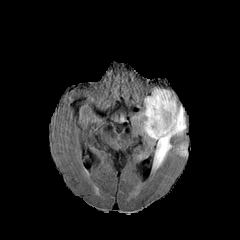
FLAIR MR.
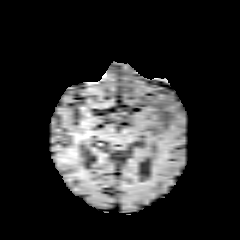
T1-weighted MR image.
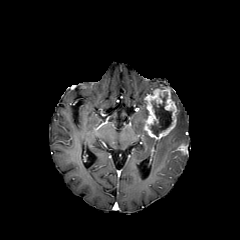
Post-contrast T1-weighted magnetic resonance.
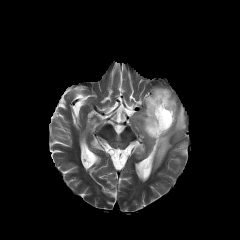
Same slice, T2-weighted magnetic resonance.
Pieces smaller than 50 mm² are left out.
2 enhancing tumor regions are located at <bbox>177, 143, 187, 154</bbox>, <bbox>144, 88, 178, 140</bbox>. The necrotic tumor core lies within <bbox>150, 97, 171, 136</bbox>. The 2 largest peritumoral edema regions are located at <bbox>133, 100, 155, 144</bbox>, <bbox>153, 95, 186, 170</bbox>.